Axial slice. Head. Slice 63 of 155.
FLAIR MR.
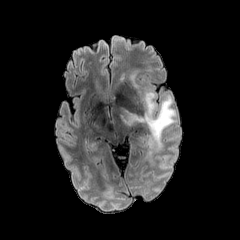
T1-weighted MRI.
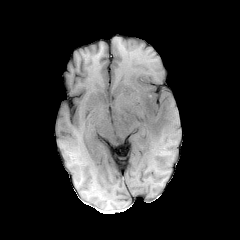
Post-contrast T1-weighted MRI.
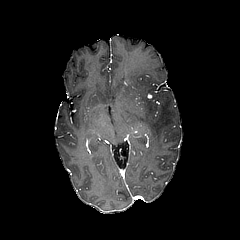
T2-weighted MR.
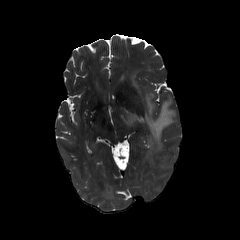
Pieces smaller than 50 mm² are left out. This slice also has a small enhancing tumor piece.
* peritumoral edema: [x1=121, y1=92, x2=175, y2=150], [x1=130, y1=73, x2=138, y2=88]